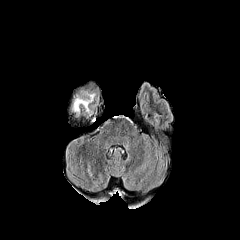
FLAIR MRI.
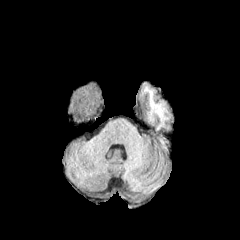
T1-weighted MR image.
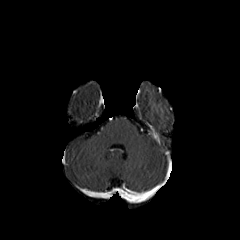
Post-contrast T1-weighted MR.
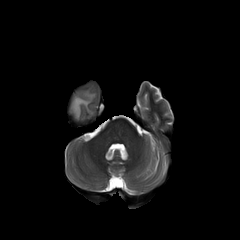
T2-weighted MR image of the same slice.
Image size 240x240; Brain
peritumoral edema — left=72, top=92, right=95, bottom=116